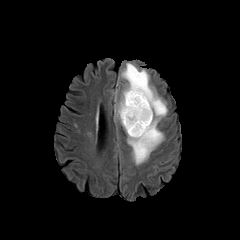
FLAIR MR.
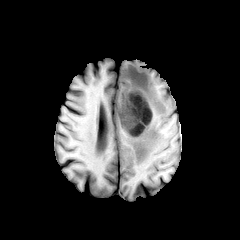
T1-weighted MRI of the same slice.
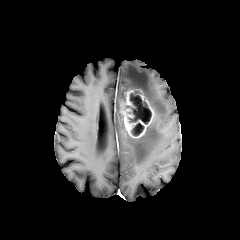
Post-contrast T1-weighted MR.
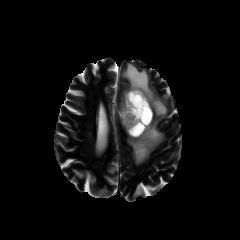
T2-weighted magnetic resonance.
Head. Image size 240x240.
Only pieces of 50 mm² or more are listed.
<segmentation>
  <peritumoral_edema>(left=115, top=63, right=167, bottom=165)</peritumoral_edema>
  <enhancing_tumor>(left=119, top=89, right=154, bottom=138)</enhancing_tumor>
  <necrotic_tumor_core>(left=131, top=123, right=144, bottom=135), (left=126, top=91, right=151, bottom=124)</necrotic_tumor_core>
</segmentation>